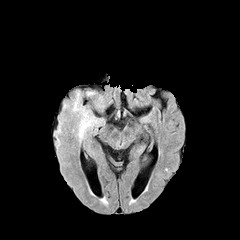
FLAIR MR.
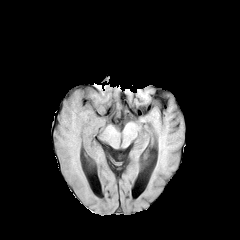
Same slice, T1-weighted MR image.
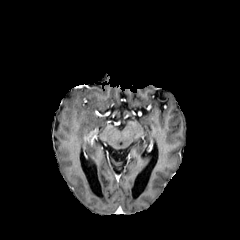
Post-contrast T1-weighted MR.
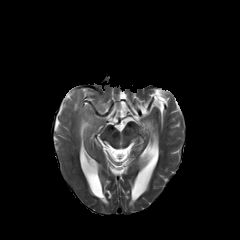
T2-weighted MR image.
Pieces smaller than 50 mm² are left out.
Segmented structures:
• peritumoral edema: [69,91,84,95], [56,98,69,141], [68,97,105,138]